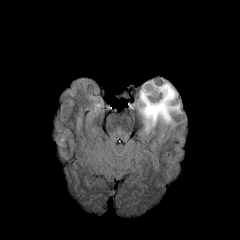
FLAIR MR.
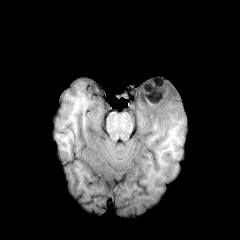
T1-weighted MRI.
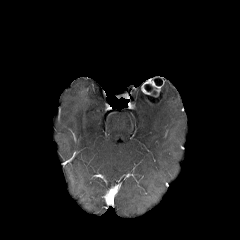
Same slice, post-contrast T1-weighted MR.
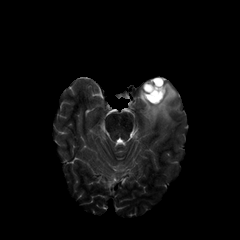
T2-weighted magnetic resonance.
Axial plane. Brain.
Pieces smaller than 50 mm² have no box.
Segmented structures:
• necrotic tumor core: (left=145, top=92, right=161, bottom=103), (left=144, top=84, right=157, bottom=94), (left=154, top=78, right=163, bottom=85)
• peritumoral edema: (left=137, top=82, right=181, bottom=133)
• enhancing tumor: (left=141, top=79, right=168, bottom=104)